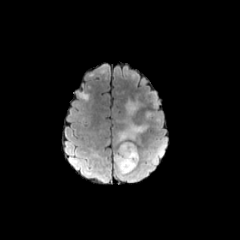
FLAIR MR image.
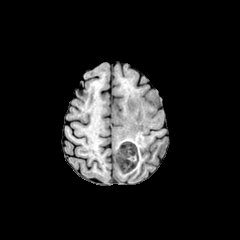
T1-weighted MR.
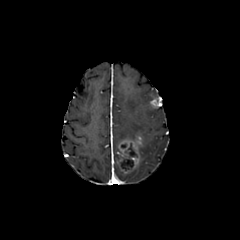
Post-contrast T1-weighted MR of the same slice.
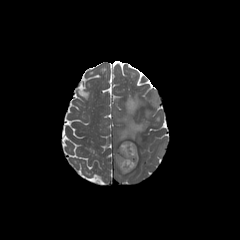
T2-weighted MR image.
240x240 px; Head
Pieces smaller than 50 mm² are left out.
The 4 largest peritumoral edema regions are located at {"x1": 118, "y1": 119, "x2": 147, "y2": 141}, {"x1": 152, "y1": 143, "x2": 164, "y2": 163}, {"x1": 125, "y1": 100, "x2": 141, "y2": 115}, {"x1": 114, "y1": 153, "x2": 141, "y2": 181}. The largest necrotic tumor core region appears at {"x1": 120, "y1": 143, "x2": 137, "y2": 170}. 2 enhancing tumor regions appear at {"x1": 116, "y1": 137, "x2": 141, "y2": 173}, {"x1": 150, "y1": 95, "x2": 161, "y2": 108}.